FLAIR magnetic resonance.
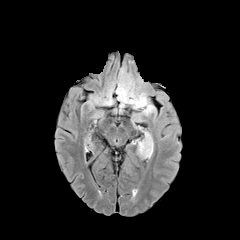
T1-weighted magnetic resonance.
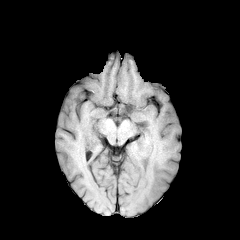
Post-contrast T1-weighted magnetic resonance.
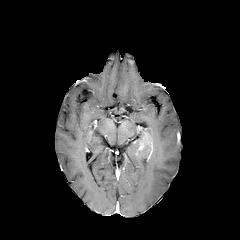
T2-weighted MRI.
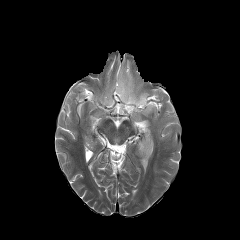
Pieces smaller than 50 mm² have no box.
peritumoral edema: [139, 127, 153, 151], [117, 79, 155, 121], [132, 139, 150, 159]
enhancing tumor: [138, 133, 152, 157]